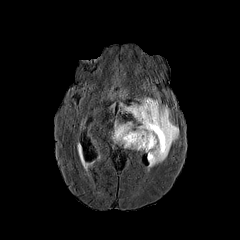
FLAIR MRI.
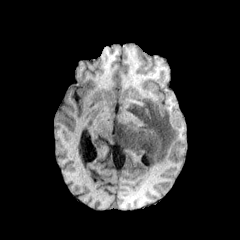
T1-weighted MRI.
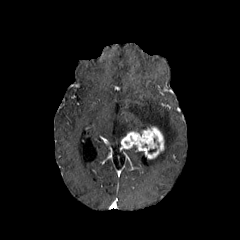
Post-contrast T1-weighted MR.
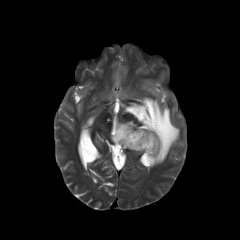
T2-weighted magnetic resonance of the same slice.
240x240 px | Axial view
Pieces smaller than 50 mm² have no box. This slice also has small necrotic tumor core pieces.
Segmented structures:
• enhancing tumor: {"x1": 121, "y1": 126, "x2": 164, "y2": 159}
• peritumoral edema: {"x1": 112, "y1": 97, "x2": 179, "y2": 169}